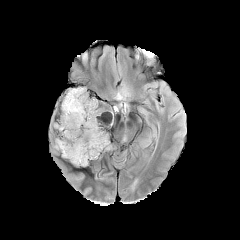
FLAIR magnetic resonance.
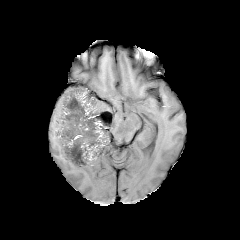
T1-weighted magnetic resonance.
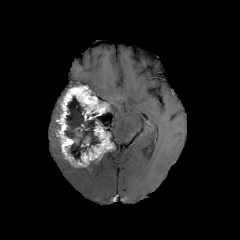
Post-contrast T1-weighted MR.
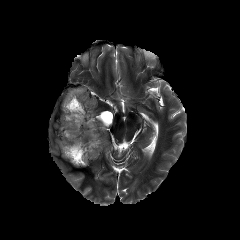
T2-weighted MR of the same slice.
Brain
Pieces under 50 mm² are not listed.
The largest necrotic tumor core region lies within 64, 96, 111, 161. The 2 largest enhancing tumor regions are located at 57, 86, 114, 166; 81, 136, 90, 146. The largest peritumoral edema region appears at 54, 138, 60, 149.